Slice 68/155
FLAIR MR.
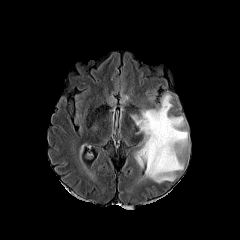
T1-weighted MR image.
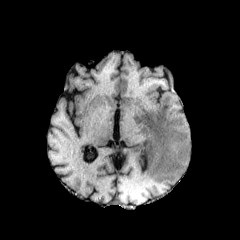
Post-contrast T1-weighted MR.
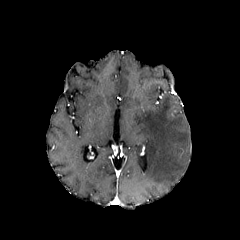
T2-weighted MR.
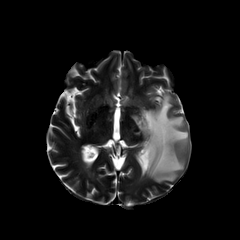
peritumoral_edema:
  - (129,93,189,184)